FLAIR magnetic resonance.
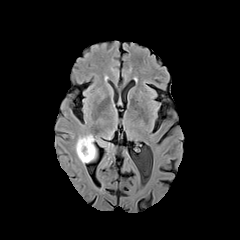
T1-weighted MR image.
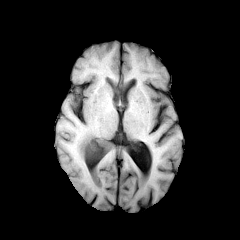
Post-contrast T1-weighted MR.
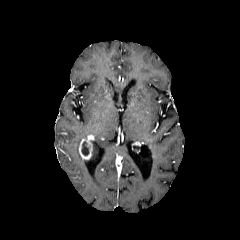
T2-weighted MR.
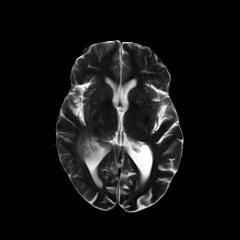
Head, Image size 240x240, Axial slice
necrotic tumor core: (x1=81, y1=141, x2=88, y2=155)
peritumoral edema: (x1=76, y1=135, x2=114, y2=162)
enhancing tumor: (x1=79, y1=139, x2=92, y2=159)